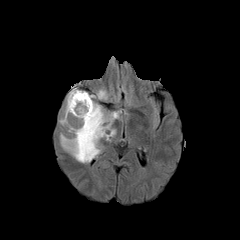
FLAIR MRI.
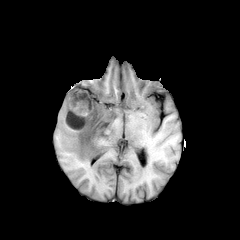
T1-weighted MR image.
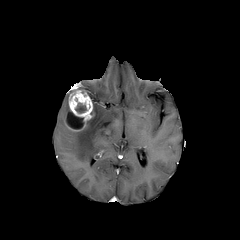
Post-contrast T1-weighted MR image.
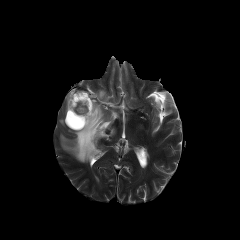
T2-weighted MR.
Axial slice
peritumoral edema: (x1=60, y1=100, x2=121, y2=162), (x1=59, y1=92, x2=70, y2=125), (x1=89, y1=89, x2=108, y2=100) | enhancing tumor: (x1=64, y1=87, x2=93, y2=131) | necrotic tumor core: (x1=67, y1=111, x2=84, y2=129), (x1=75, y1=103, x2=86, y2=112)